Slice 40 of 155, Image covers 240 mm x 240 mm, Brain
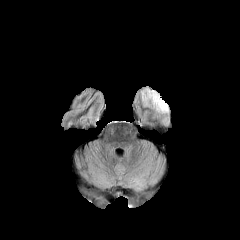
FLAIR MR.
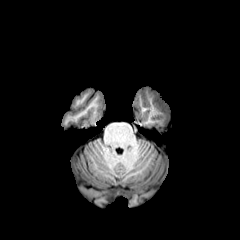
T1-weighted MR image.
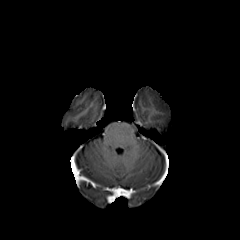
Post-contrast T1-weighted MR image of the same slice.
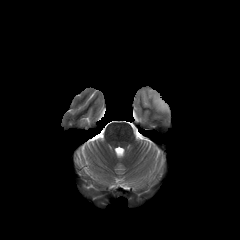
T2-weighted MR image.
peritumoral edema — x1=149, y1=91, x2=168, y2=112